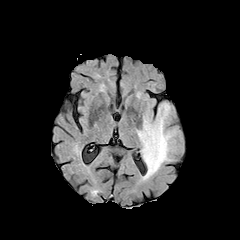
FLAIR magnetic resonance.
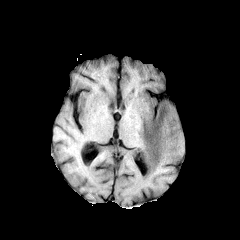
T1-weighted MRI of the same slice.
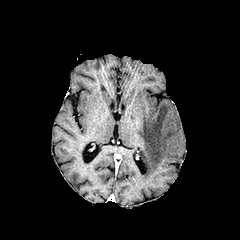
Post-contrast T1-weighted magnetic resonance.
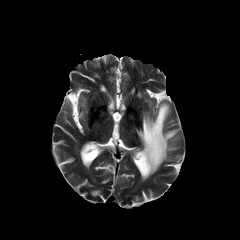
Same slice, T2-weighted MRI.
Axial plane, Brain, 240x240
Annotated regions:
- peritumoral edema: box(137, 102, 178, 179)